Axial view | 240x240 px
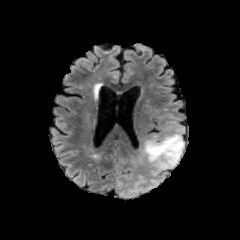
FLAIR MRI.
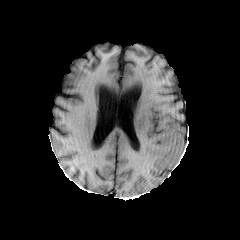
T1-weighted magnetic resonance.
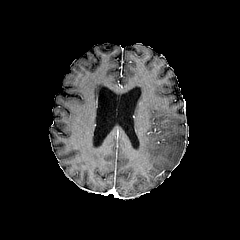
Post-contrast T1-weighted MRI.
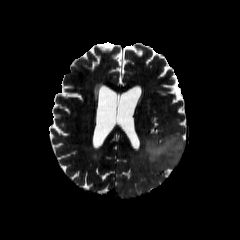
Same slice, T2-weighted magnetic resonance.
Findings:
• peritumoral edema: <bbox>143, 133, 184, 170</bbox>